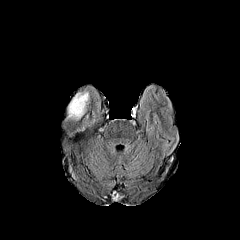
FLAIR MR image.
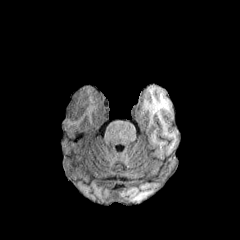
Same slice, T1-weighted MR.
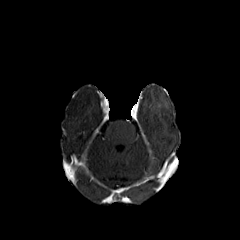
Post-contrast T1-weighted MRI.
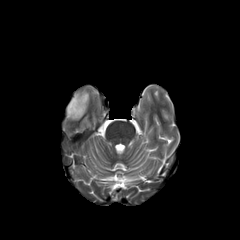
T2-weighted magnetic resonance.
Brain
peritumoral edema: bounding box bbox=[67, 92, 89, 119]